Head, Axial slice, 240x240 px
FLAIR magnetic resonance.
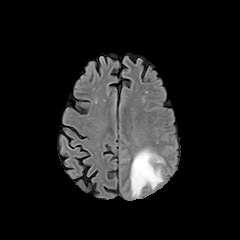
T1-weighted MRI.
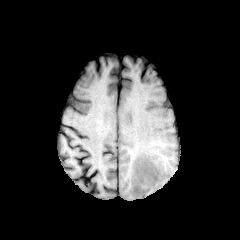
Post-contrast T1-weighted MRI.
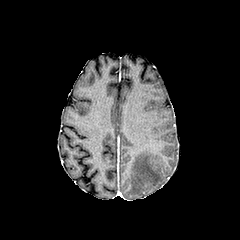
T2-weighted magnetic resonance.
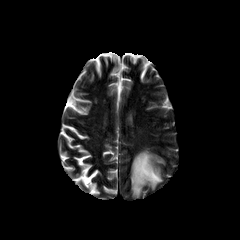
peritumoral edema: x1=130, y1=149, x2=163, y2=197